FLAIR MR.
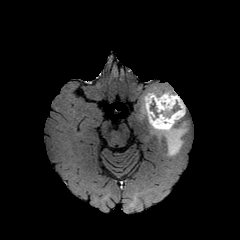
T1-weighted magnetic resonance.
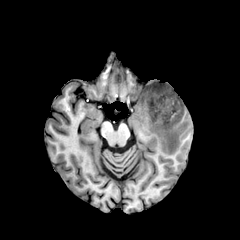
Post-contrast T1-weighted magnetic resonance.
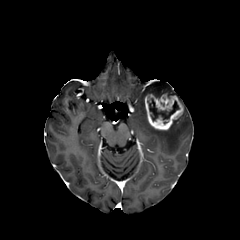
T2-weighted magnetic resonance.
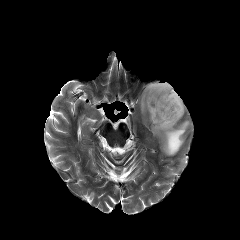
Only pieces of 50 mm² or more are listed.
<segmentation>
  <enhancing_tumor>145, 94, 183, 130</enhancing_tumor>
  <peritumoral_edema>142, 84, 187, 155</peritumoral_edema>
  <necrotic_tumor_core>147, 98, 179, 121</necrotic_tumor_core>
</segmentation>